Image width 240 mm, 1.00 mm slice spacing, Slice index 62, Axial plane
FLAIR MRI.
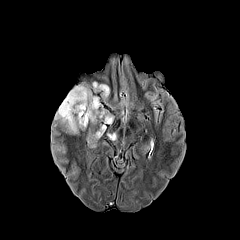
T1-weighted MRI.
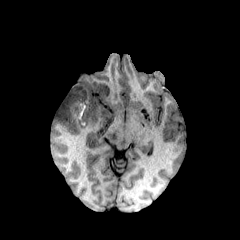
Post-contrast T1-weighted MR.
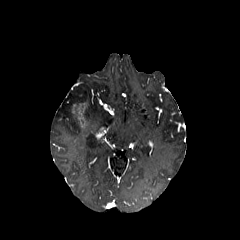
T2-weighted magnetic resonance.
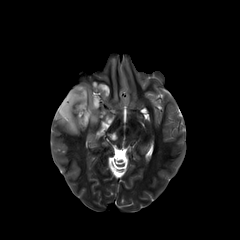
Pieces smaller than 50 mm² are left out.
enhancing_tumor:
  - (left=72, top=102, right=87, bottom=129)
necrotic_tumor_core:
  - (left=83, top=102, right=92, bottom=121)
peritumoral_edema:
  - (left=55, top=85, right=113, bottom=133)
  - (left=92, top=82, right=109, bottom=98)